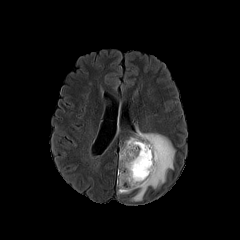
FLAIR MR.
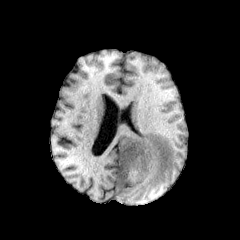
T1-weighted MR.
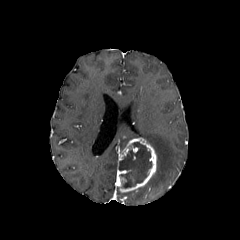
Post-contrast T1-weighted MRI.
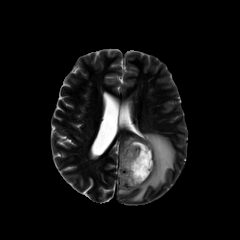
Same slice, T2-weighted magnetic resonance.
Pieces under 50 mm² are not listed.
enhancing tumor: bounding box bbox(116, 137, 156, 192)
peritumoral edema: bounding box bbox(120, 130, 175, 201)
necrotic tumor core: bounding box bbox(118, 142, 151, 188)